FLAIR magnetic resonance.
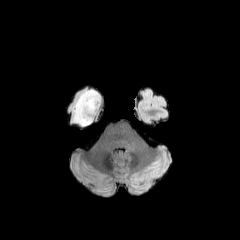
T1-weighted MR image.
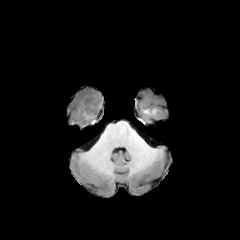
Post-contrast T1-weighted MR.
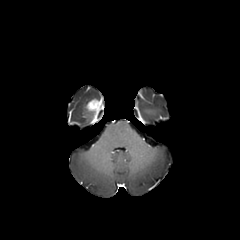
T2-weighted MR image.
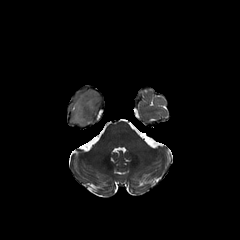
Brain
enhancing_tumor:
  - x1=86, y1=99, x2=101, y2=122
peritumoral_edema:
  - x1=71, y1=90, x2=100, y2=126